FLAIR MR.
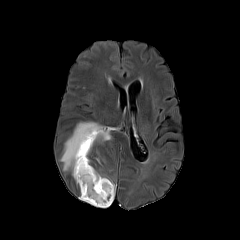
T1-weighted MRI.
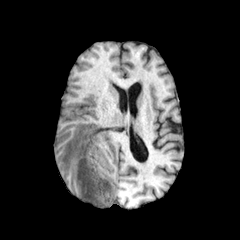
Post-contrast T1-weighted MRI.
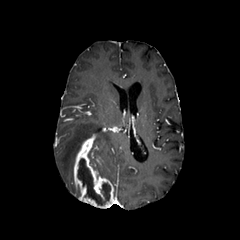
T2-weighted MR image.
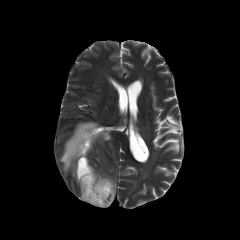
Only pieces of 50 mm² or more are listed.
necrotic_tumor_core:
  - l=77, t=158, r=110, b=205
peritumoral_edema:
  - l=60, t=121, r=111, b=177
enhancing_tumor:
  - l=74, t=134, r=114, b=208